Slice 105 of 155
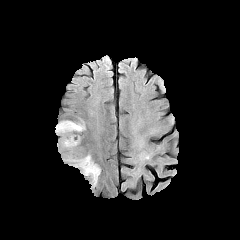
FLAIR MR.
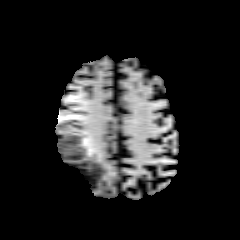
T1-weighted MR image.
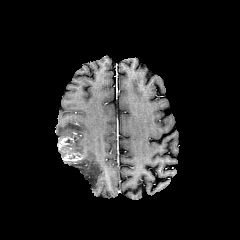
Post-contrast T1-weighted MR.
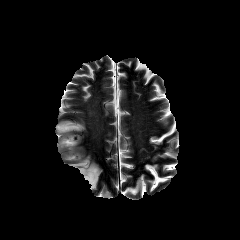
T2-weighted MR image of the same slice.
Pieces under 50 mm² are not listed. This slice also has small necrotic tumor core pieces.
The enhancing tumor is at box(57, 136, 84, 161). 3 peritumoral edema regions are bounded by box(74, 136, 80, 151); box(68, 155, 100, 187); box(55, 120, 85, 138).